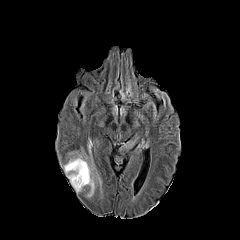
FLAIR magnetic resonance.
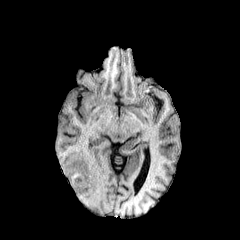
Same slice, T1-weighted MR image.
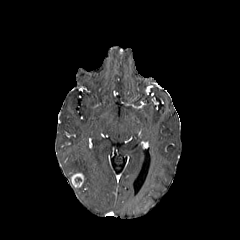
Post-contrast T1-weighted MRI.
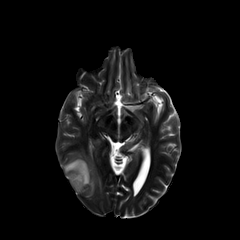
Same slice, T2-weighted MRI.
Head; Image size 240x240
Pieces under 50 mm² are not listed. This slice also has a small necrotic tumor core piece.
* peritumoral edema: <box>63,151,101,197</box>
* enhancing tumor: <box>71,173,84,187</box>